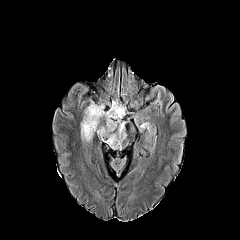
FLAIR magnetic resonance.
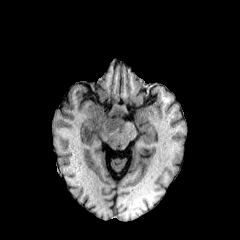
T1-weighted MR image.
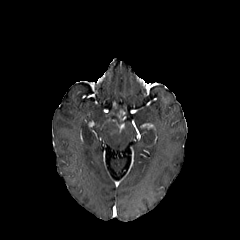
Same slice, post-contrast T1-weighted MRI.
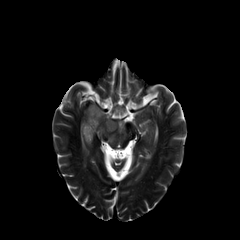
T2-weighted MR image.
Axial view
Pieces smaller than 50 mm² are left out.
peritumoral edema at <box>81,102,126,148</box>